FLAIR MR image.
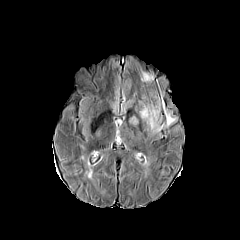
T1-weighted MR.
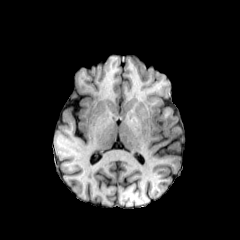
Post-contrast T1-weighted magnetic resonance.
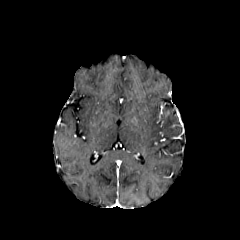
T2-weighted MR image.
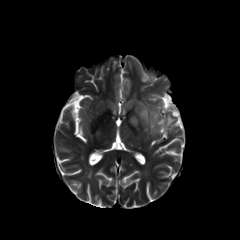
Head
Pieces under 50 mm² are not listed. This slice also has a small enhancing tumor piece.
peritumoral edema: x1=143, y1=72, x2=152, y2=82; x1=140, y1=107, x2=160, y2=132; x1=164, y1=113, x2=175, y2=127